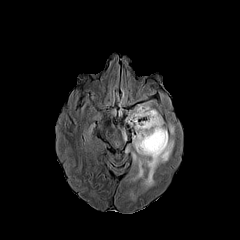
FLAIR magnetic resonance.
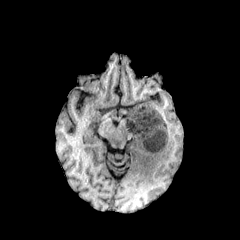
T1-weighted MR image.
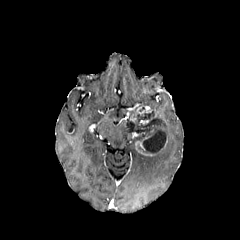
Post-contrast T1-weighted MR image of the same slice.
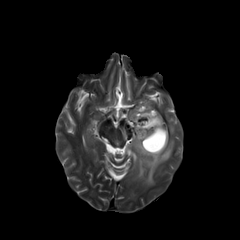
T2-weighted MRI.
Head; Axial view
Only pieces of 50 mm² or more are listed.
* enhancing tumor: 135,136,156,156; 135,106,151,115
* peritumoral edema: 126,101,150,126; 168,123,174,135; 121,127,127,142; 126,126,174,192
* necrotic tumor core: 133,110,166,153